Image covers 240 mm x 240 mm
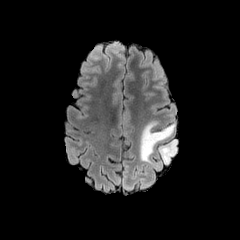
FLAIR MR image.
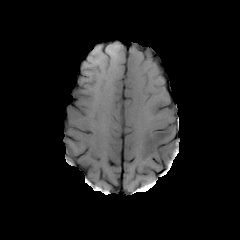
Same slice, T1-weighted MR image.
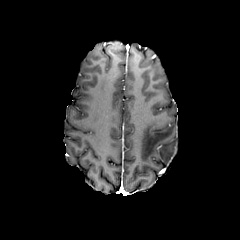
Post-contrast T1-weighted MRI of the same slice.
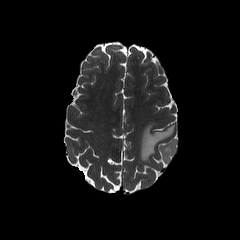
T2-weighted magnetic resonance.
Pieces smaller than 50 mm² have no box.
The 2 largest peritumoral edema regions are bounded by x1=140, y1=121, x2=174, y2=163; x1=159, y1=139, x2=177, y2=163.